Slice index 102; Image width 240 mm, 1.00 mm slice spacing
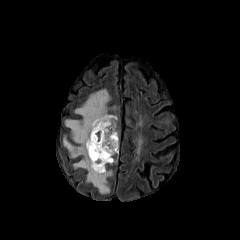
FLAIR MR.
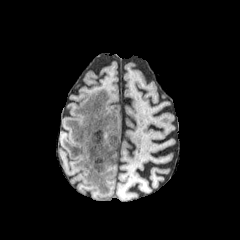
T1-weighted MR image.
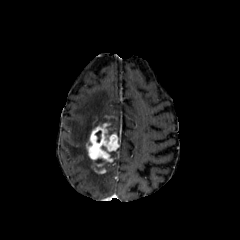
Post-contrast T1-weighted MR of the same slice.
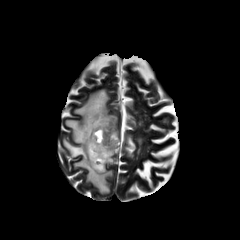
Same slice, T2-weighted MR image.
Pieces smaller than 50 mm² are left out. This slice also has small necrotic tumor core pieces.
peritumoral edema: 63 89 112 194 | enhancing tumor: 86 115 118 173